Brain
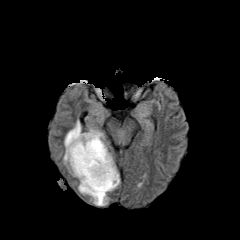
FLAIR MR image.
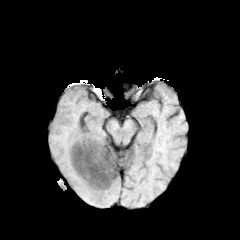
T1-weighted MRI.
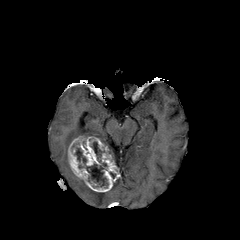
Post-contrast T1-weighted MR image.
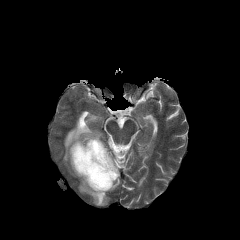
T2-weighted MRI of the same slice.
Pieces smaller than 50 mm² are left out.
The 3 largest necrotic tumor core regions are located at x1=92, y1=141, x2=102, y2=159; x1=75, y1=148, x2=86, y2=163; x1=86, y1=164, x2=107, y2=187. The enhancing tumor is bounded by x1=68, y1=136, x2=119, y2=192. 3 peritumoral edema regions are located at x1=78, y1=178, x2=108, y2=205; x1=108, y1=178, x2=119, y2=191; x1=63, y1=120, x2=105, y2=177.